Head; Axial plane; Slice index 130; Image covers 240 mm x 240 mm; Image size 240x240
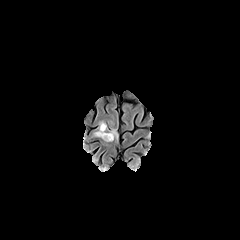
FLAIR magnetic resonance.
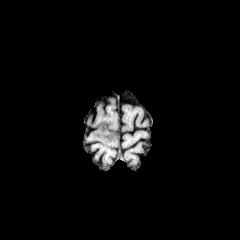
T1-weighted MR.
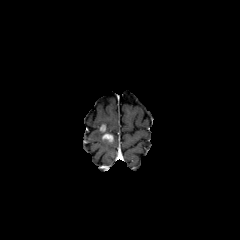
Post-contrast T1-weighted MRI.
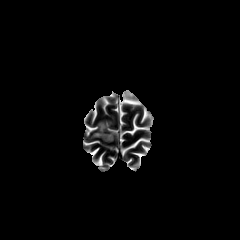
T2-weighted MR.
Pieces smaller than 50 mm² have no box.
peritumoral edema: 93, 121, 105, 137; 109, 129, 117, 139
enhancing tumor: 102, 133, 113, 142